FLAIR magnetic resonance.
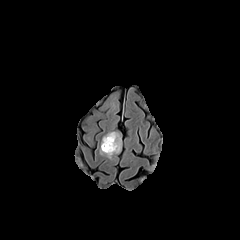
T1-weighted magnetic resonance.
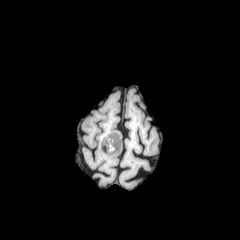
Post-contrast T1-weighted MR.
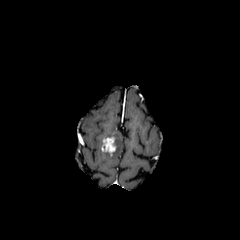
T2-weighted MR image.
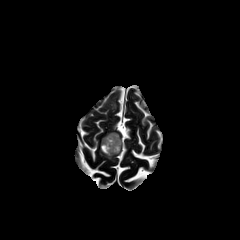
Axial plane.
The enhancing tumor appears at [x1=101, y1=136, x2=115, y2=155]. The peritumoral edema is at [x1=99, y1=131, x2=122, y2=159].